FLAIR magnetic resonance.
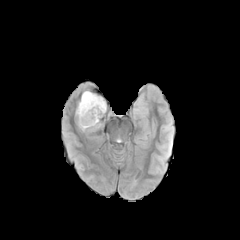
T1-weighted magnetic resonance.
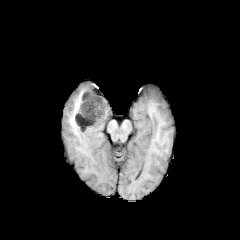
Post-contrast T1-weighted MR.
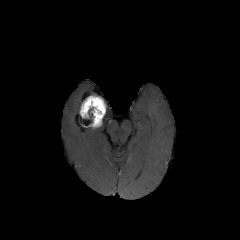
T2-weighted MR image.
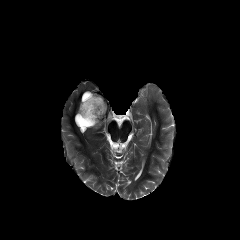
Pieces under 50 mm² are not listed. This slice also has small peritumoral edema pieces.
The enhancing tumor is at 79:93:108:130. The necrotic tumor core is bounded by 81:108:93:125.